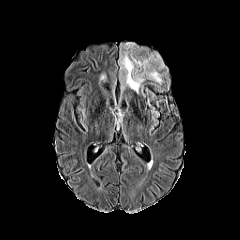
FLAIR MR image.
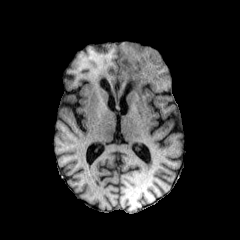
T1-weighted magnetic resonance.
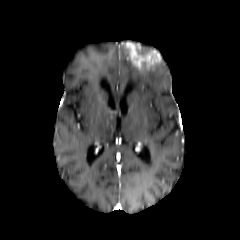
Post-contrast T1-weighted MR.
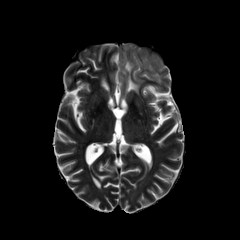
T2-weighted magnetic resonance of the same slice.
Image size 240x240
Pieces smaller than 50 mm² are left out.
peritumoral_edema:
  - bbox(119, 48, 164, 93)
enhancing_tumor:
  - bbox(122, 42, 161, 71)